FLAIR MR image.
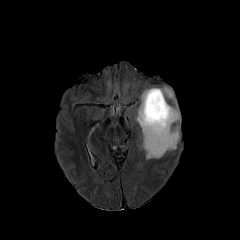
T1-weighted MRI.
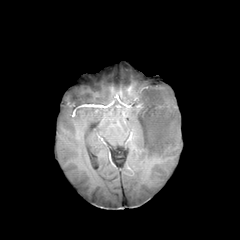
Post-contrast T1-weighted MRI.
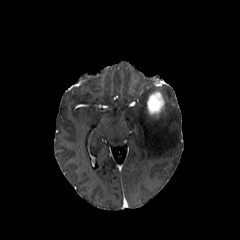
T2-weighted MR.
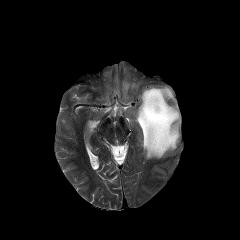
Brain
Findings:
- enhancing tumor: bbox=[147, 91, 164, 115]
- peritumoral edema: bbox=[134, 86, 180, 159]